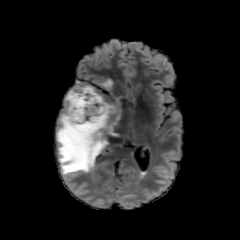
FLAIR MR image.
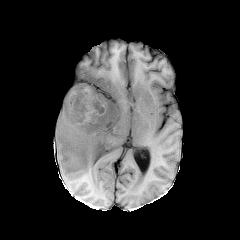
T1-weighted MR.
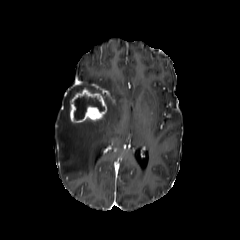
Same slice, post-contrast T1-weighted MRI.
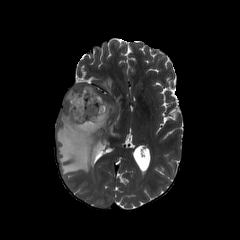
T2-weighted magnetic resonance.
Image size 240x240
peritumoral_edema:
  - x1=56 y1=79 x2=121 y2=175
necrotic_tumor_core:
  - x1=74 y1=94 x2=104 y2=120
enhancing_tumor:
  - x1=69 y1=88 x2=107 y2=123